Axial plane | Head
FLAIR MR.
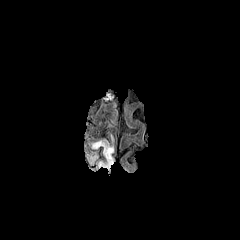
T1-weighted MR.
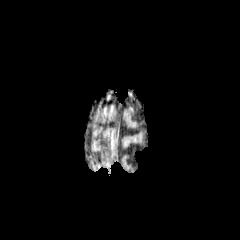
Post-contrast T1-weighted MR image.
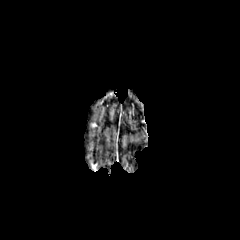
T2-weighted MRI.
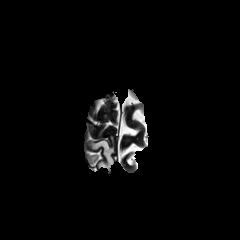
peritumoral_edema:
  - box=[91, 139, 114, 167]